Slice 86 of 155, 240x240 px
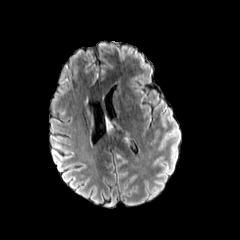
FLAIR MR.
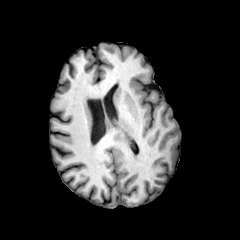
T1-weighted MRI.
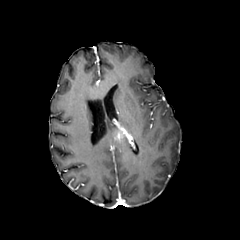
Post-contrast T1-weighted magnetic resonance of the same slice.
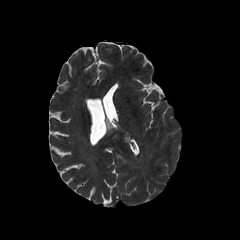
T2-weighted magnetic resonance of the same slice.
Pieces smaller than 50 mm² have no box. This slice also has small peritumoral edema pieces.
The enhancing tumor lies within (left=116, top=127, right=131, bottom=141).